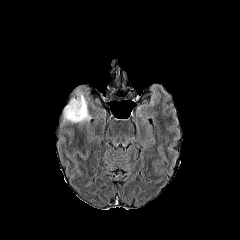
FLAIR MR.
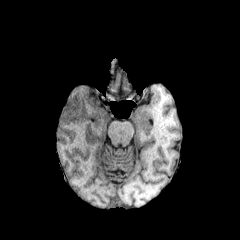
T1-weighted magnetic resonance.
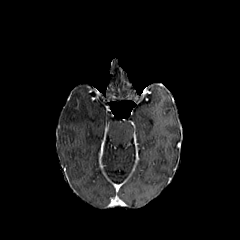
Post-contrast T1-weighted magnetic resonance.
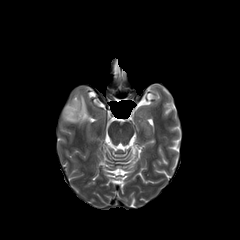
T2-weighted MR.
Brain | Image size 240x240
peritumoral edema: bbox(63, 90, 90, 124)